FLAIR MR image.
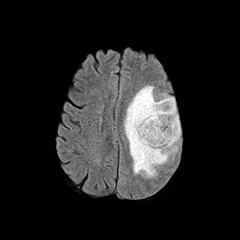
T1-weighted MR.
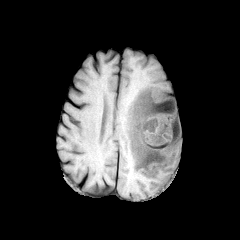
Post-contrast T1-weighted magnetic resonance.
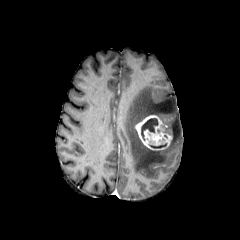
T2-weighted MR image.
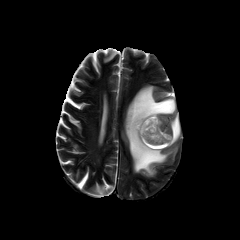
Axial slice. Head.
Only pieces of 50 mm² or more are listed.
{
  "enhancing_tumor": [
    "<bbox>135, 115, 172, 150</bbox>"
  ],
  "peritumoral_edema": [
    "<bbox>124, 85, 180, 177</bbox>"
  ],
  "necrotic_tumor_core": [
    "<bbox>141, 118, 158, 140</bbox>"
  ]
}